FLAIR MR image.
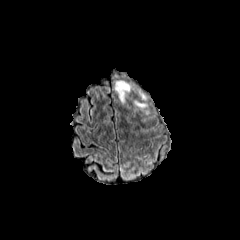
T1-weighted MRI.
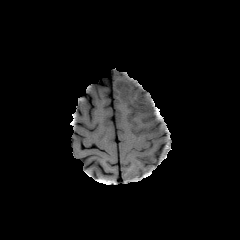
Post-contrast T1-weighted MR image.
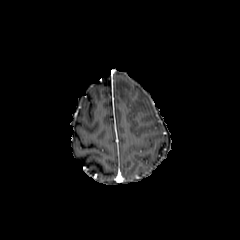
T2-weighted magnetic resonance.
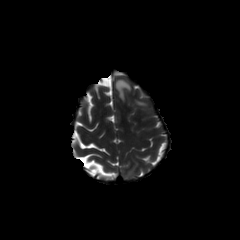
Axial plane | 240x240 px
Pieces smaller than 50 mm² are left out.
Annotated regions:
• peritumoral edema: {"x1": 115, "y1": 80, "x2": 130, "y2": 103}, {"x1": 134, "y1": 100, "x2": 147, "y2": 108}